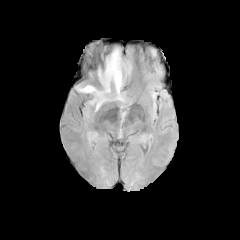
FLAIR MR.
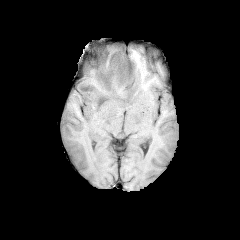
T1-weighted MR.
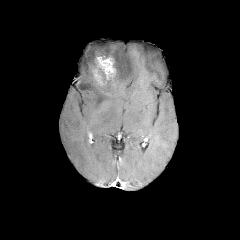
Post-contrast T1-weighted MR image of the same slice.
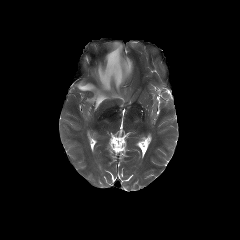
T2-weighted magnetic resonance of the same slice.
Axial view
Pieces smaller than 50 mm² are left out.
enhancing_tumor:
  - (90, 55, 116, 86)
peritumoral_edema:
  - (75, 47, 132, 111)
necrotic_tumor_core:
  - (103, 81, 112, 92)
  - (98, 68, 106, 82)